Image covers 240 mm x 240 mm, Head, Axial slice
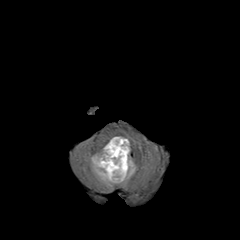
FLAIR MRI.
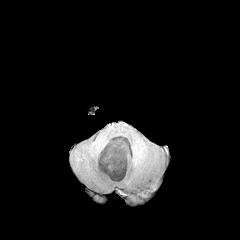
T1-weighted MR of the same slice.
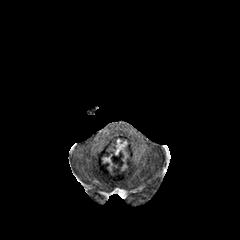
Post-contrast T1-weighted MR.
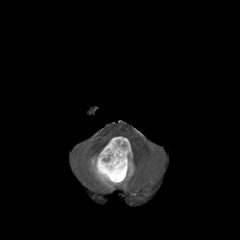
T2-weighted MR of the same slice.
- peritumoral edema: box(91, 136, 135, 187)
- enhancing tumor: box(99, 138, 128, 179)
- necrotic tumor core: box(111, 152, 123, 166)